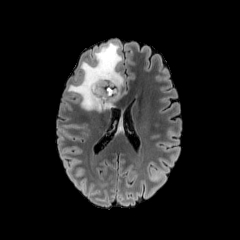
FLAIR MRI.
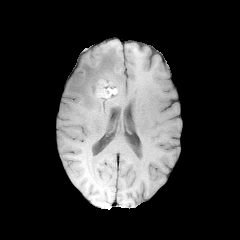
T1-weighted MR image of the same slice.
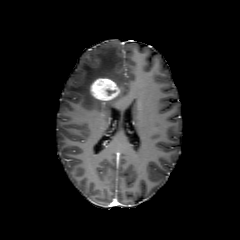
Same slice, post-contrast T1-weighted magnetic resonance.
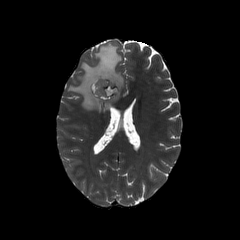
T2-weighted MR image of the same slice.
Axial plane
enhancing tumor: <box>90,78,120,101</box> | necrotic tumor core: <box>97,81,117,96</box> | peritumoral edema: <box>67,43,124,112</box>